FLAIR magnetic resonance.
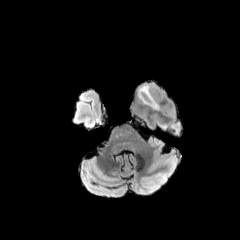
T1-weighted MRI.
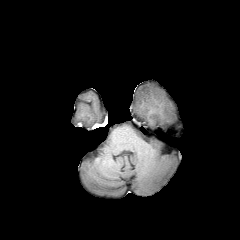
Post-contrast T1-weighted MRI.
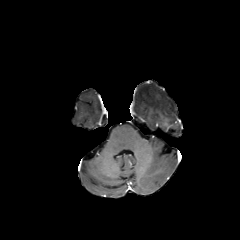
T2-weighted MRI.
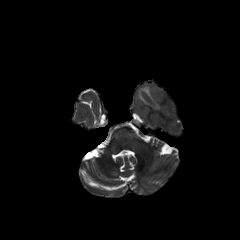
240x240 px; Brain
The peritumoral edema is bounded by x1=138 y1=84 x2=162 y2=110.